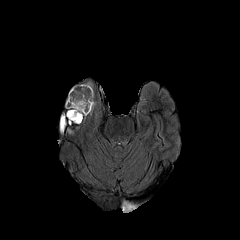
FLAIR MR.
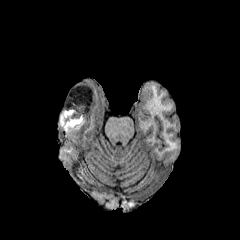
T1-weighted MR.
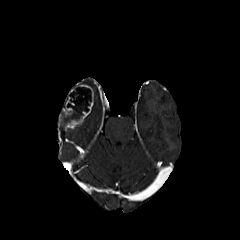
Post-contrast T1-weighted MR image.
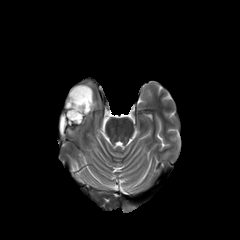
T2-weighted MRI of the same slice.
Brain
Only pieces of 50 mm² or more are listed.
necrotic tumor core: bounding box 62 86 91 124
enhancing tumor: bounding box 65 84 93 127
peritumoral edema: bounding box 60 114 65 132